Axial plane, Image covers 240 mm x 240 mm, Slice 86 of 155
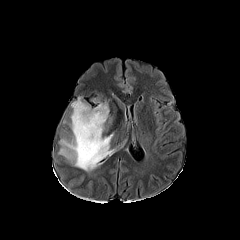
FLAIR magnetic resonance.
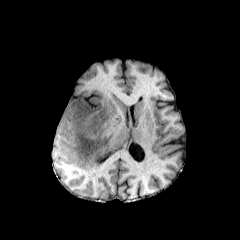
Same slice, T1-weighted magnetic resonance.
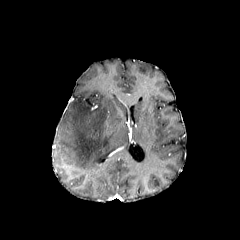
Post-contrast T1-weighted MRI of the same slice.
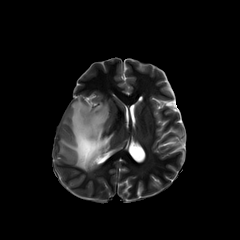
T2-weighted MR image.
The peritumoral edema is located at 59:97:126:171.